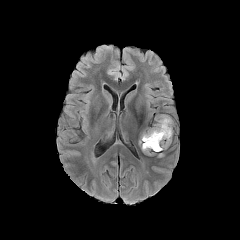
FLAIR MR.
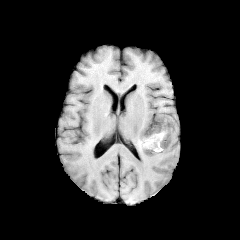
Same slice, T1-weighted MR image.
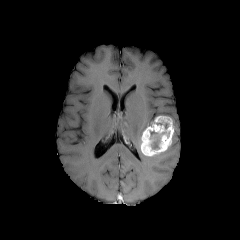
Post-contrast T1-weighted magnetic resonance.
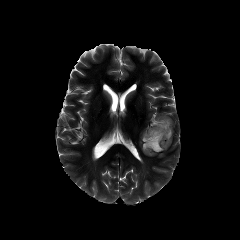
Same slice, T2-weighted MR.
Axial view; Image size 240x240; Brain
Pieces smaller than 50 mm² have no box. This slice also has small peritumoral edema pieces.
The enhancing tumor lies within [141,116,173,156]. The largest necrotic tumor core region is bounded by [151,131,160,149].